FLAIR MR.
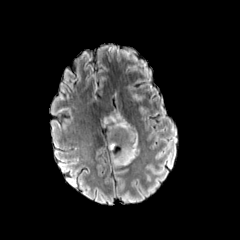
T1-weighted MRI.
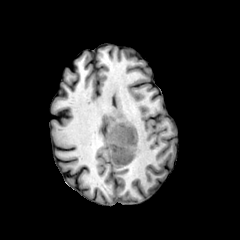
Post-contrast T1-weighted MR image.
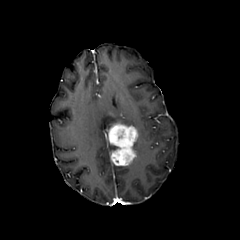
T2-weighted MRI.
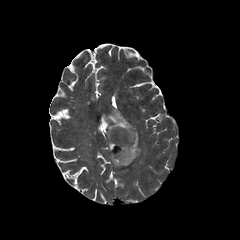
Axial view; Head
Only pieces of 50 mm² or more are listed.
The enhancing tumor is located at rect(107, 121, 138, 166). The largest peritumoral edema region is at rect(104, 111, 131, 129).